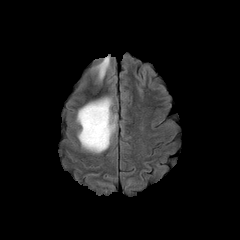
FLAIR MR.
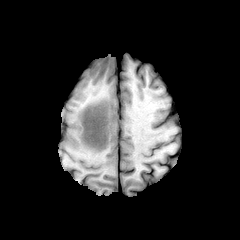
T1-weighted MR image.
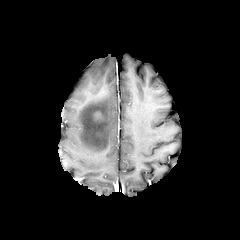
Same slice, post-contrast T1-weighted MR image.
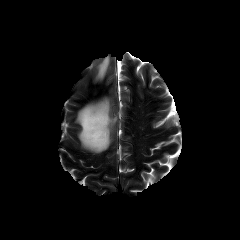
Same slice, T2-weighted MRI.
Axial plane; Head
enhancing tumor: bounding box l=92, t=111, r=104, b=122
peritumoral edema: bounding box l=96, t=56, r=109, b=79; l=77, t=97, r=116, b=153